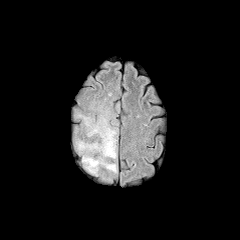
FLAIR magnetic resonance.
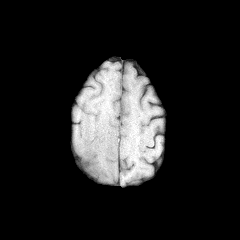
Same slice, T1-weighted magnetic resonance.
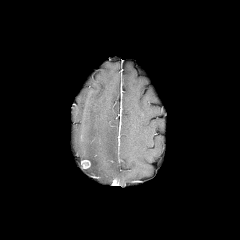
Post-contrast T1-weighted magnetic resonance.
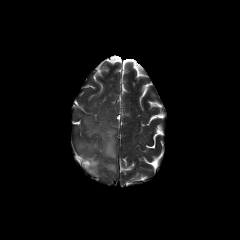
T2-weighted magnetic resonance.
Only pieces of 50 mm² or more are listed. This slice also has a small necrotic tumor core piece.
The enhancing tumor appears at box=[81, 160, 90, 168]. The peritumoral edema lies within box=[76, 110, 117, 175].